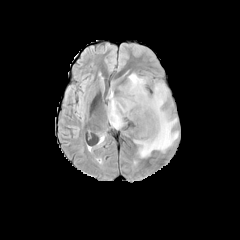
FLAIR magnetic resonance.
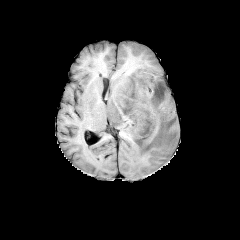
T1-weighted MR image of the same slice.
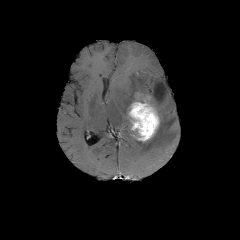
Post-contrast T1-weighted MRI.
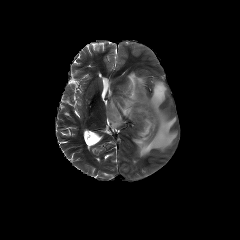
Same slice, T2-weighted MRI.
Brain | Axial view | Image size 240x240
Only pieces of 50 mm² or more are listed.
<segmentation>
  <enhancing_tumor>[127,98,160,141]</enhancing_tumor>
  <peritumoral_edema>[107,73,178,157]</peritumoral_edema>
</segmentation>